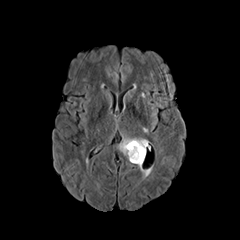
FLAIR MR image.
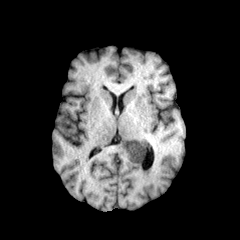
Same slice, T1-weighted MR image.
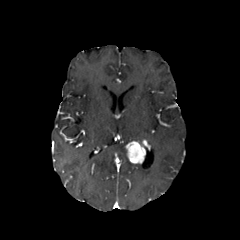
Same slice, post-contrast T1-weighted magnetic resonance.
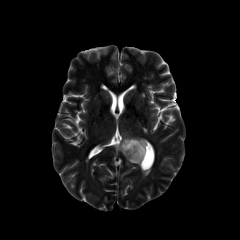
T2-weighted magnetic resonance.
Brain; Axial slice
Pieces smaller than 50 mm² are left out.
enhancing tumor: bounding box bbox=[125, 140, 147, 163]
peritumoral edema: bounding box bbox=[118, 137, 144, 156]; bbox=[136, 164, 151, 176]